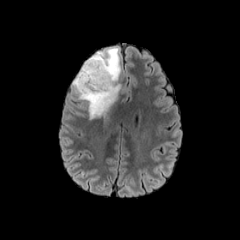
FLAIR MR image.
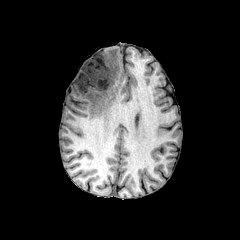
T1-weighted magnetic resonance.
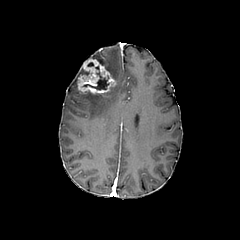
Post-contrast T1-weighted MR image of the same slice.
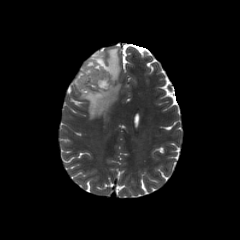
T2-weighted magnetic resonance.
240x240 | Axial view
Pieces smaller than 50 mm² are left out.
The largest necrotic tumor core region appears at rect(83, 66, 108, 89). The enhancing tumor is located at rect(76, 58, 115, 96). The peritumoral edema is located at rect(73, 47, 121, 119).